FLAIR magnetic resonance.
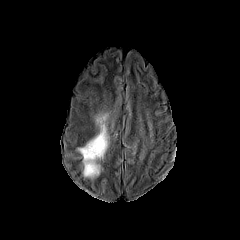
T1-weighted MR image.
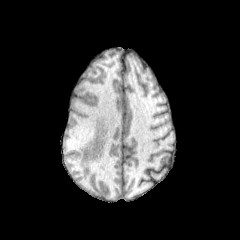
Post-contrast T1-weighted MRI.
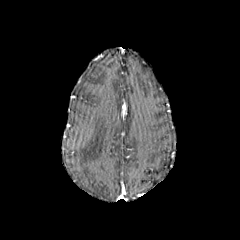
T2-weighted magnetic resonance.
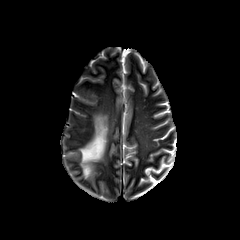
240x240 px, Axial view
The peritumoral edema is bounded by rect(78, 115, 108, 177).